FLAIR magnetic resonance.
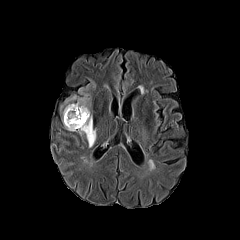
T1-weighted MR.
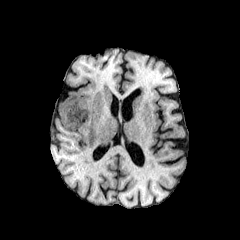
Post-contrast T1-weighted MRI.
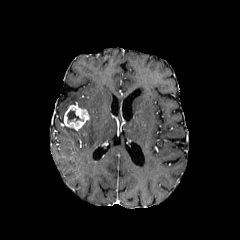
T2-weighted MR image.
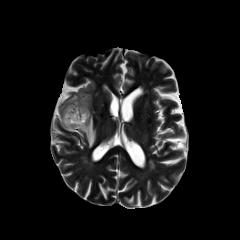
Axial view.
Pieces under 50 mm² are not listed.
Annotated regions:
* enhancing tumor: (64, 104, 89, 130)
* peritumoral edema: (62, 85, 96, 147)
* necrotic tumor core: (67, 110, 83, 123)